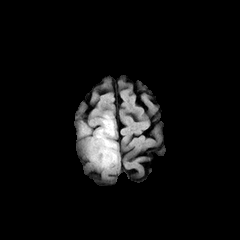
FLAIR MR.
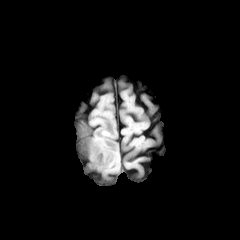
Same slice, T1-weighted MR.
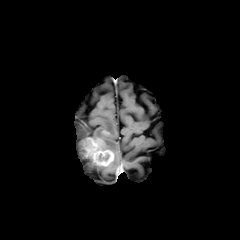
Post-contrast T1-weighted magnetic resonance of the same slice.
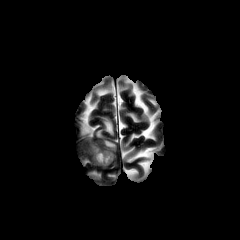
T2-weighted MR image.
Axial plane
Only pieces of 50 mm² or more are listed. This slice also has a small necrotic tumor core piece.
2 peritumoral edema regions are located at rect(81, 124, 90, 134); rect(93, 115, 117, 167). The enhancing tumor is located at rect(84, 137, 113, 166).